FLAIR MR image.
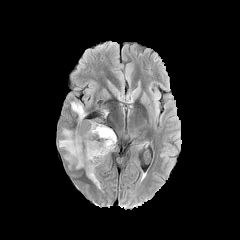
T1-weighted MR.
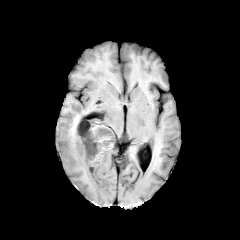
Post-contrast T1-weighted MRI.
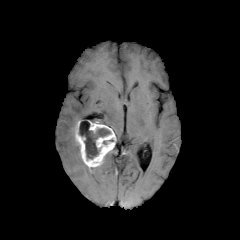
T2-weighted MR.
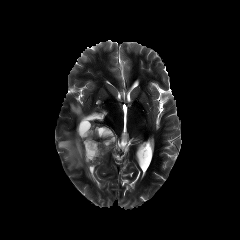
Axial view | Head
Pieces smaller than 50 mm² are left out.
peritumoral_edema:
  - {"x1": 71, "y1": 102, "x2": 84, "y2": 120}
  - {"x1": 58, "y1": 129, "x2": 100, "y2": 188}
necrotic_tumor_core:
  - {"x1": 79, "y1": 121, "x2": 110, "y2": 158}
enhancing_tumor:
  - {"x1": 75, "y1": 118, "x2": 116, "y2": 172}